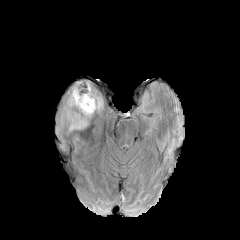
FLAIR MRI.
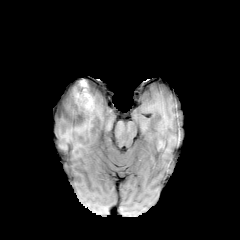
T1-weighted magnetic resonance.
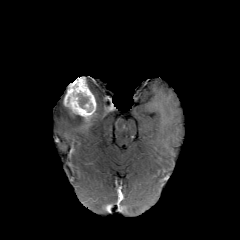
Post-contrast T1-weighted MR image.
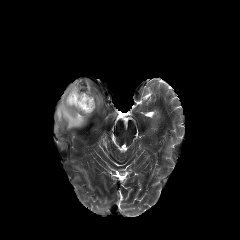
T2-weighted MR image of the same slice.
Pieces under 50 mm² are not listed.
<segmentation>
  <necrotic_tumor_core>x1=77, y1=94, x2=88, y2=108</necrotic_tumor_core>
  <enhancing_tumor>x1=63, y1=80, x2=96, y2=120</enhancing_tumor>
  <peritumoral_edema>x1=60, y1=104, x2=87, y2=129; x1=93, y1=94, x2=102, y2=109</peritumoral_edema>
</segmentation>